FLAIR MR image.
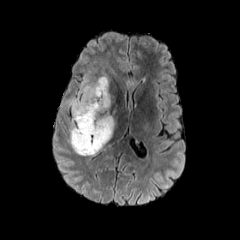
T1-weighted magnetic resonance.
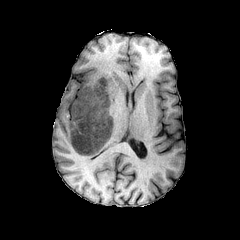
Post-contrast T1-weighted magnetic resonance.
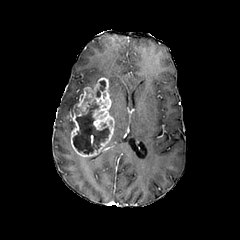
T2-weighted MR image.
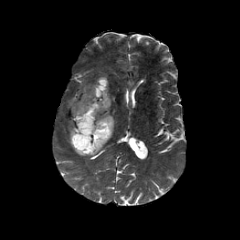
Brain
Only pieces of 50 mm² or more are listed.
The 3 largest necrotic tumor core regions are bounded by region(99, 80, 105, 91); region(73, 100, 109, 154); region(75, 91, 93, 114). The 2 largest peritumoral edema regions appear at region(62, 79, 97, 119); region(68, 120, 74, 143). The largest enhancing tumor region appears at region(70, 77, 114, 156).